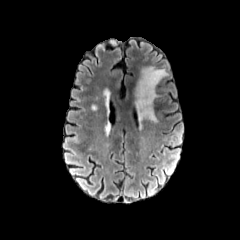
FLAIR MR.
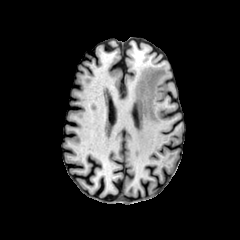
T1-weighted MR image.
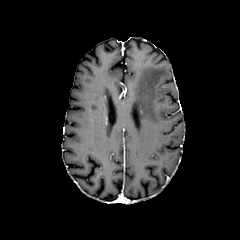
Post-contrast T1-weighted MR.
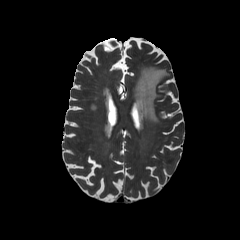
T2-weighted MRI.
Head
Annotated regions:
• peritumoral edema: 135:66:168:122